FLAIR magnetic resonance.
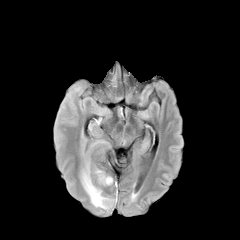
T1-weighted MR.
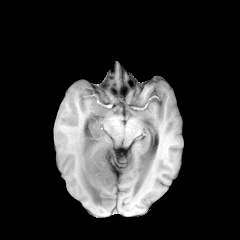
Post-contrast T1-weighted magnetic resonance.
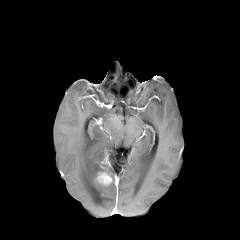
T2-weighted MRI.
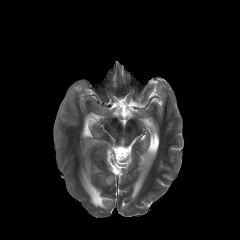
Axial slice; Head; 240x240
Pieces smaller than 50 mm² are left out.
The largest peritumoral edema region is at [x1=81, y1=160, x2=113, y2=209]. The enhancing tumor is at [x1=97, y1=173, x2=112, y2=185].